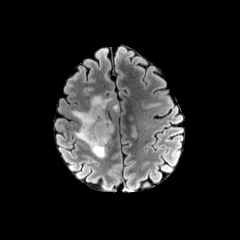
FLAIR MRI.
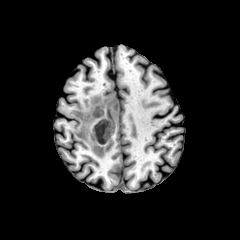
T1-weighted magnetic resonance of the same slice.
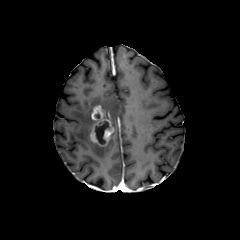
Post-contrast T1-weighted MRI.
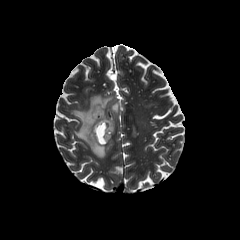
Same slice, T2-weighted MRI.
240x240. Axial view.
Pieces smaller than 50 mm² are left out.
The enhancing tumor lies within (89, 105, 114, 146). The largest necrotic tumor core region lies within (95, 121, 109, 143). 2 peritumoral edema regions are bounded by (72, 95, 112, 158), (111, 104, 117, 112).